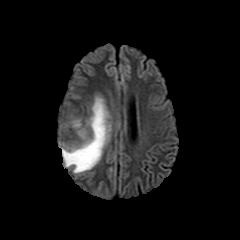
FLAIR MR.
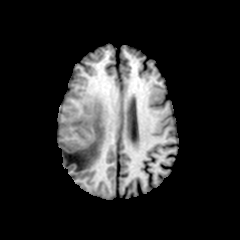
T1-weighted magnetic resonance.
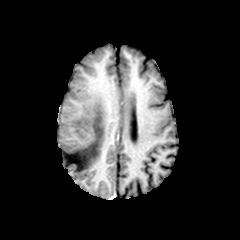
Post-contrast T1-weighted magnetic resonance.
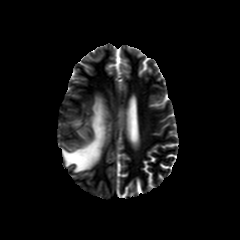
T2-weighted MRI of the same slice.
peritumoral_edema:
  - [62,97,110,173]
  - [72,120,80,127]